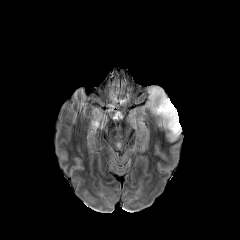
FLAIR MR image.
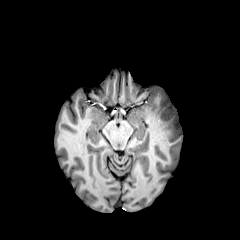
Same slice, T1-weighted magnetic resonance.
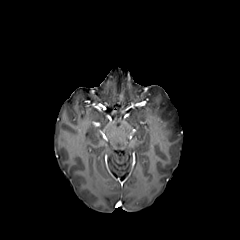
Post-contrast T1-weighted magnetic resonance.
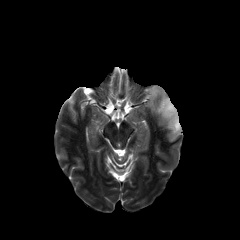
Same slice, T2-weighted MRI.
Axial plane, 240x240 px, Brain
peritumoral edema = bbox=[149, 87, 181, 140]